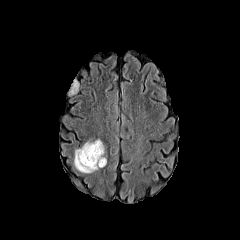
FLAIR MRI.
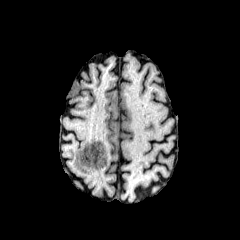
T1-weighted MR.
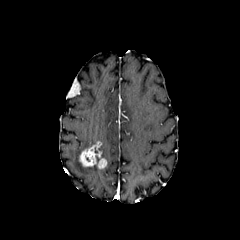
Post-contrast T1-weighted MR.
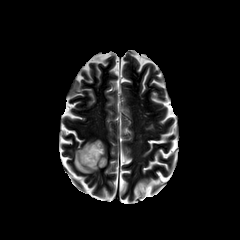
T2-weighted MRI of the same slice.
Head. 240x240.
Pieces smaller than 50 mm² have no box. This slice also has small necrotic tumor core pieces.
enhancing tumor: bounding box region(79, 141, 106, 168)
peritumoral edema: bounding box region(74, 138, 105, 173)